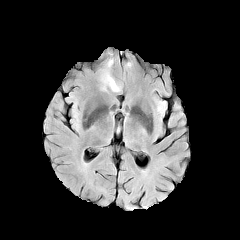
FLAIR MR image.
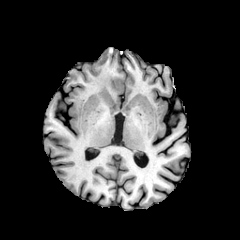
T1-weighted MR.
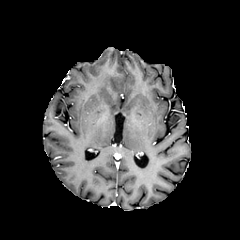
Post-contrast T1-weighted MRI.
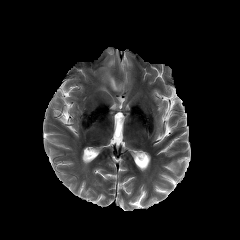
T2-weighted magnetic resonance of the same slice.
240x240 px
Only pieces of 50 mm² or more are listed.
{"peritumoral_edema": ["(left=101, top=71, right=121, bottom=91)"]}